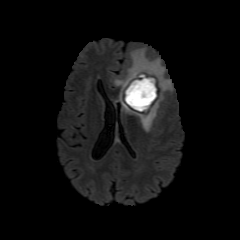
FLAIR MRI.
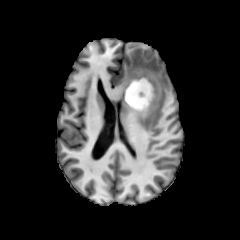
T1-weighted magnetic resonance of the same slice.
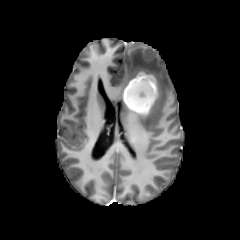
Same slice, post-contrast T1-weighted MRI.
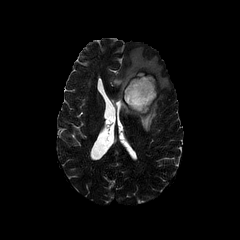
T2-weighted MR of the same slice.
Image size 240x240
necrotic tumor core at 125 78 152 110
enhancing tumor at 123 71 157 114
peritumoral edema at 114 48 171 131